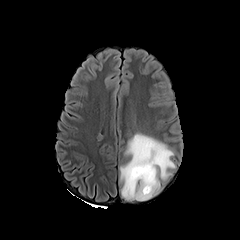
FLAIR MR image.
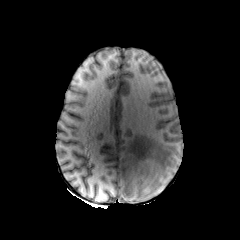
T1-weighted MR image.
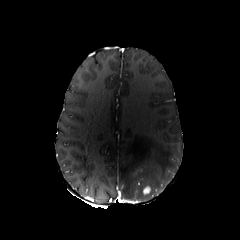
Post-contrast T1-weighted MR image.
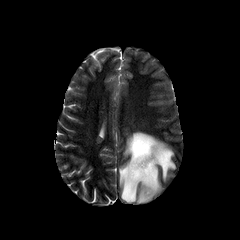
Same slice, T2-weighted MRI.
Brain; Axial plane; 240x240 px
Annotated regions:
- peritumoral edema: [x1=119, y1=132, x2=175, y2=200]
- enhancing tumor: [x1=143, y1=186, x2=150, y2=194]